Axial plane, Brain
FLAIR MR.
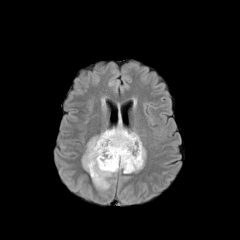
T1-weighted MRI.
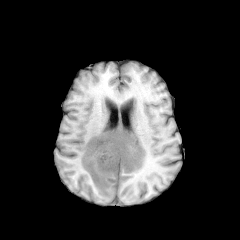
Post-contrast T1-weighted magnetic resonance.
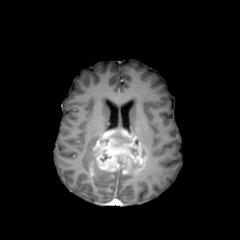
T2-weighted MRI.
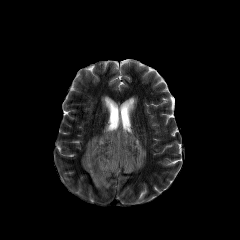
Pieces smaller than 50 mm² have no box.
enhancing tumor: bbox=[93, 128, 145, 173]; bbox=[89, 162, 94, 176]
necrotic tumor core: bbox=[114, 133, 129, 142]
peritumoral edema: bbox=[82, 135, 117, 189]